FLAIR MRI.
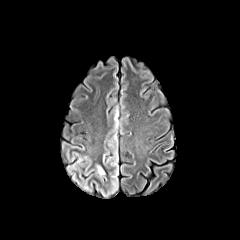
T1-weighted MR image.
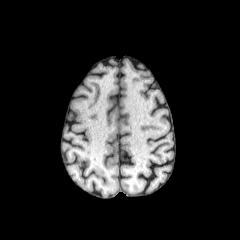
Post-contrast T1-weighted magnetic resonance.
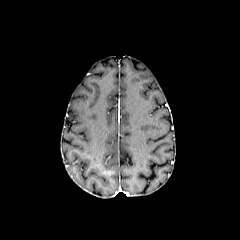
T2-weighted MR.
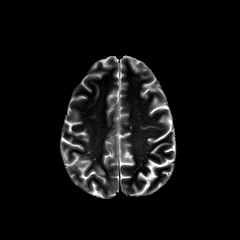
Segmented structures:
* peritumoral edema: bbox(97, 165, 104, 175)